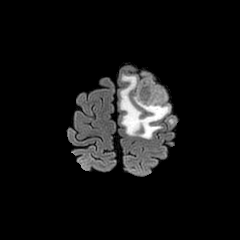
FLAIR MR image.
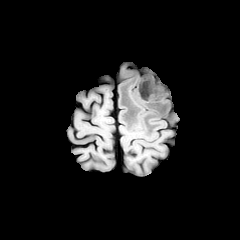
T1-weighted MRI of the same slice.
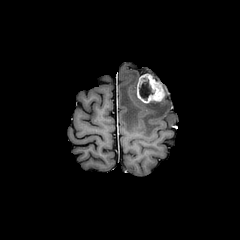
Post-contrast T1-weighted MR image.
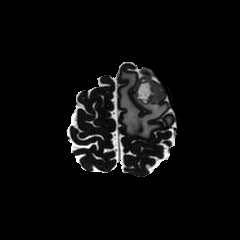
Same slice, T2-weighted magnetic resonance.
Brain
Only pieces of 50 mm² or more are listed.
necrotic tumor core at {"x1": 139, "y1": 77, "x2": 153, "y2": 100}
enhancing tumor at {"x1": 137, "y1": 73, "x2": 165, "y2": 103}
peritumoral edema at {"x1": 119, "y1": 73, "x2": 170, "y2": 138}